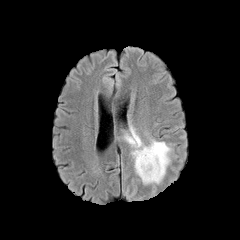
FLAIR MR.
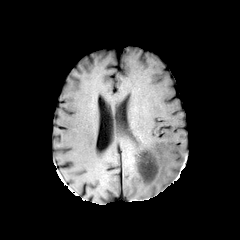
T1-weighted MRI.
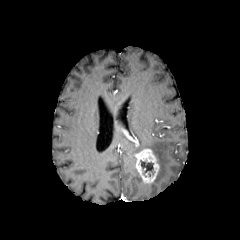
Same slice, post-contrast T1-weighted MRI.
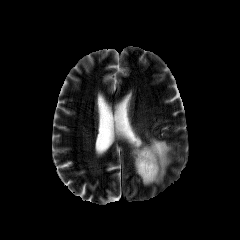
T2-weighted MRI.
240x240, Axial plane
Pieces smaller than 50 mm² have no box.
necrotic tumor core: bounding box {"x1": 140, "y1": 160, "x2": 153, "y2": 173}
enhancing tumor: bounding box {"x1": 121, "y1": 128, "x2": 138, "y2": 146}, {"x1": 135, "y1": 148, "x2": 159, "y2": 183}
peritumoral edema: bounding box {"x1": 124, "y1": 127, "x2": 171, "y2": 183}